Slice 71 of 155; Axial plane; Head
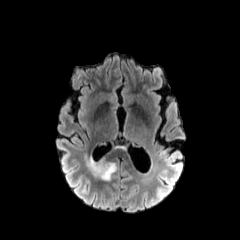
FLAIR MRI.
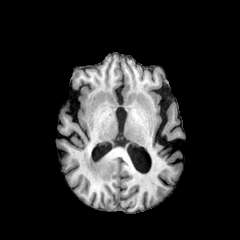
T1-weighted MR of the same slice.
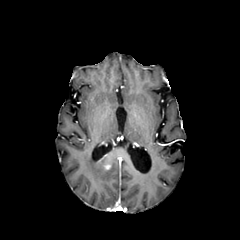
Post-contrast T1-weighted magnetic resonance.
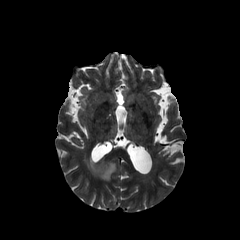
T2-weighted MRI.
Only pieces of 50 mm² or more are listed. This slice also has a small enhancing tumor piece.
Annotated regions:
* peritumoral edema: <bbox>88, 157, 116, 180</bbox>